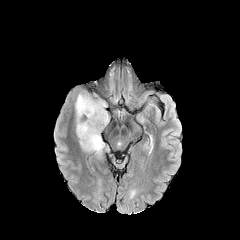
FLAIR MR.
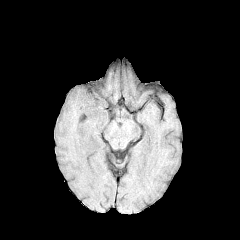
T1-weighted MRI.
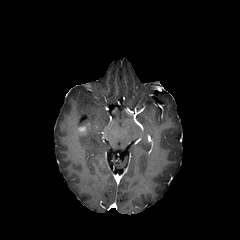
Same slice, post-contrast T1-weighted MRI.
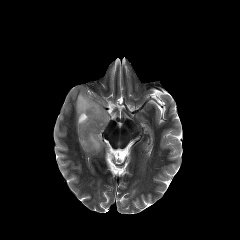
T2-weighted MR image of the same slice.
Brain
enhancing tumor = l=78, t=126, r=87, b=135
peritumoral edema = l=75, t=92, r=108, b=156